Image width 240 mm. 240x240.
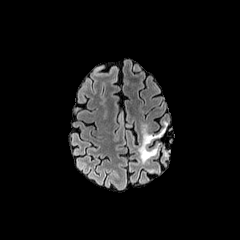
FLAIR MR image.
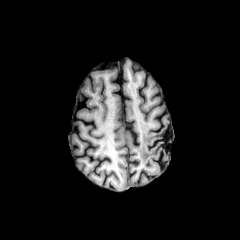
T1-weighted MR.
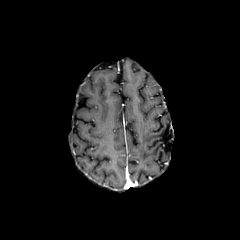
Post-contrast T1-weighted MRI.
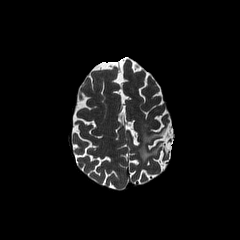
Same slice, T2-weighted MRI.
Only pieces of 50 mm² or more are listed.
peritumoral edema — x1=138 y1=126 x2=165 y2=162